FLAIR MRI.
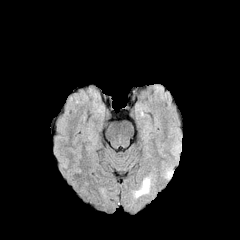
T1-weighted MR image.
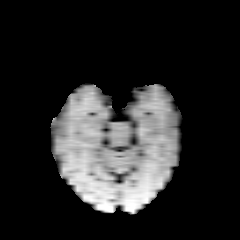
Post-contrast T1-weighted MR image.
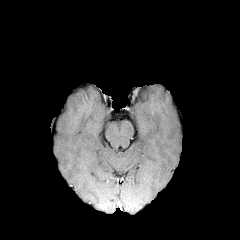
T2-weighted magnetic resonance.
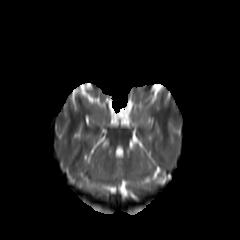
Axial view, Brain
The peritumoral edema lies within <box>133,175,155,198</box>.